Slice 56/155, Axial view
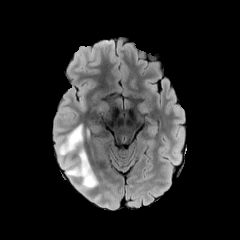
FLAIR MR.
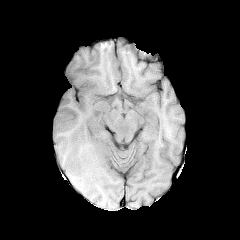
T1-weighted MR image of the same slice.
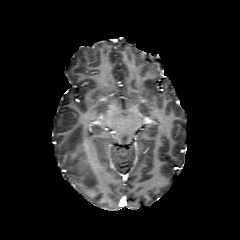
Post-contrast T1-weighted MR image of the same slice.
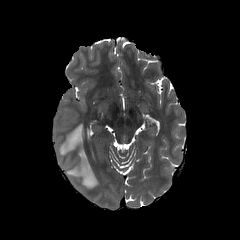
T2-weighted MR image of the same slice.
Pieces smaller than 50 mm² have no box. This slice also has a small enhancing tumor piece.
peritumoral_edema:
  - (66, 148, 98, 189)
  - (58, 124, 83, 155)